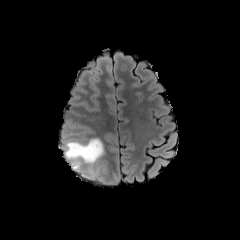
FLAIR MR image.
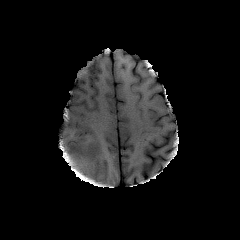
T1-weighted MRI.
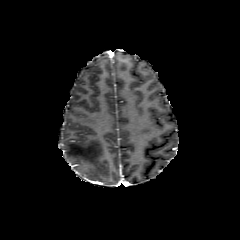
Post-contrast T1-weighted MR image.
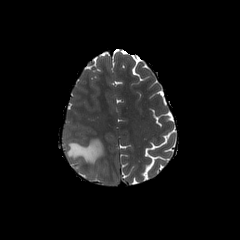
Same slice, T2-weighted MR image.
{
  "peritumoral_edema": [
    {"x1": 65, "y1": 138, "x2": 103, "y2": 179}
  ],
  "enhancing_tumor": [
    {"x1": 75, "y1": 165, "x2": 84, "y2": 173}
  ]
}